FLAIR MR.
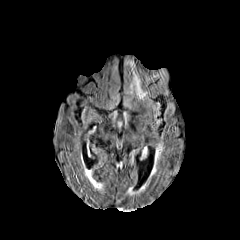
T1-weighted MR image.
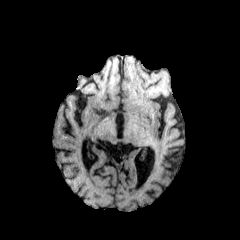
Post-contrast T1-weighted MR.
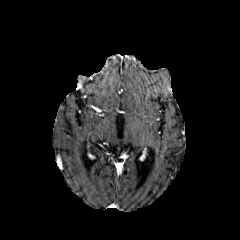
T2-weighted MR.
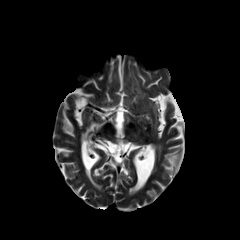
Axial slice; 240x240
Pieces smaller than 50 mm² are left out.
Annotated regions:
• peritumoral edema: 131,71,146,98